Brain; Axial slice
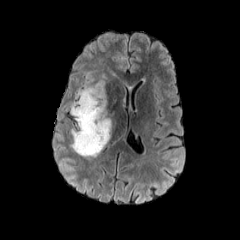
FLAIR magnetic resonance.
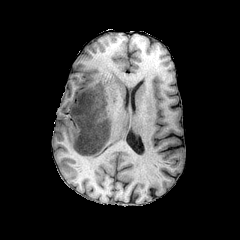
Same slice, T1-weighted magnetic resonance.
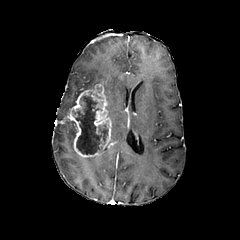
Post-contrast T1-weighted magnetic resonance.
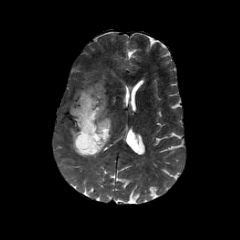
T2-weighted magnetic resonance.
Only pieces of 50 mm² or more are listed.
Annotated regions:
- necrotic tumor core: <box>75,95,108,155</box>
- peritumoral edema: <box>65,74,106,112</box>, <box>108,113,114,136</box>
- enhancing tumor: <box>70,81,111,157</box>